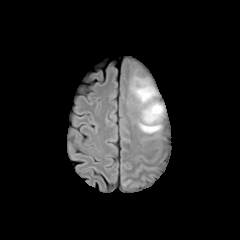
FLAIR MRI.
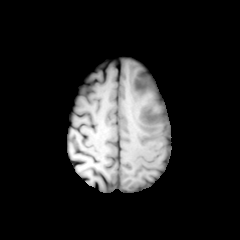
T1-weighted MR image of the same slice.
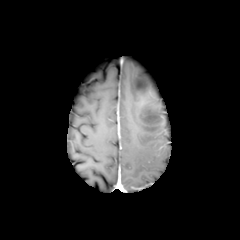
Post-contrast T1-weighted MR.
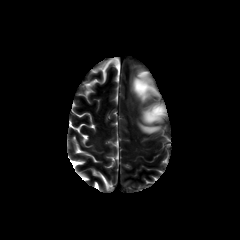
T2-weighted MR image.
<segmentation>
  <peritumoral_edema>(130,70,163,133)</peritumoral_edema>
</segmentation>